FLAIR MRI.
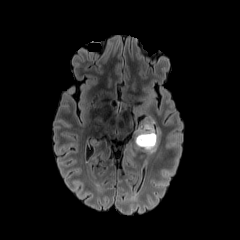
T1-weighted MRI.
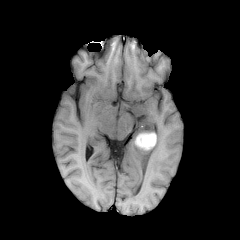
Post-contrast T1-weighted MRI.
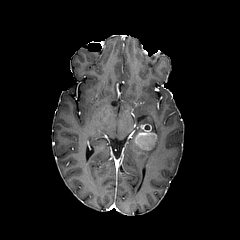
T2-weighted MR.
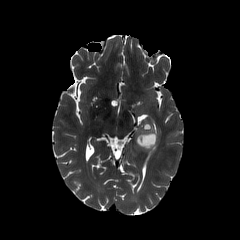
Axial view; Head
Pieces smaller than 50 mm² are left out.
{
  "enhancing_tumor": [
    "rect(135, 124, 156, 149)"
  ],
  "necrotic_tumor_core": [
    "rect(138, 135, 155, 146)"
  ],
  "peritumoral_edema": [
    "rect(142, 119, 160, 152)"
  ]
}